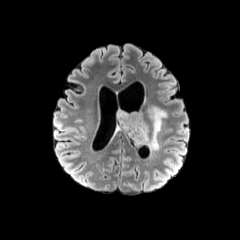
FLAIR MRI.
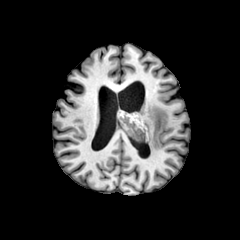
Same slice, T1-weighted magnetic resonance.
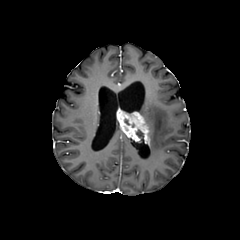
Same slice, post-contrast T1-weighted MR image.
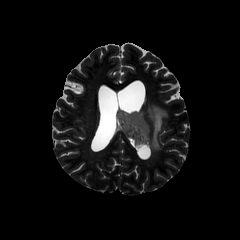
T2-weighted MRI of the same slice.
240x240 | Axial plane
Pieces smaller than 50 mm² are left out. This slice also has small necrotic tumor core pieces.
peritumoral edema: (left=148, top=106, right=167, bottom=151) | enhancing tumor: (left=116, top=111, right=150, bottom=145)